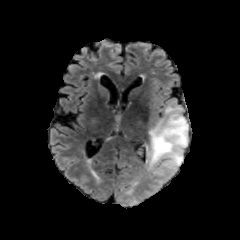
FLAIR MR image.
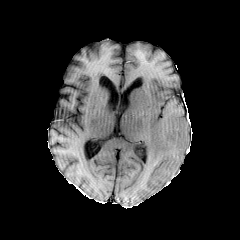
T1-weighted MR image.
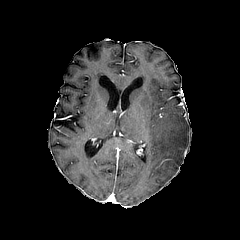
Post-contrast T1-weighted MRI.
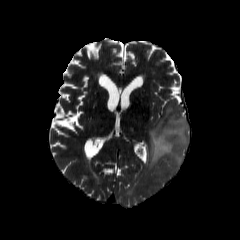
T2-weighted MR image.
peritumoral edema: 146,106,188,176